Axial slice; 240x240; Image covers 240 mm x 240 mm; Brain
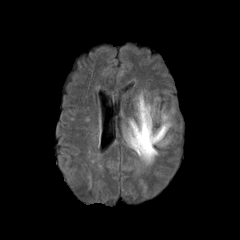
FLAIR MRI.
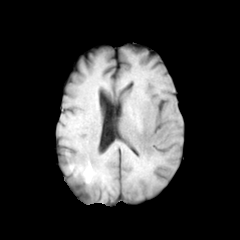
Same slice, T1-weighted magnetic resonance.
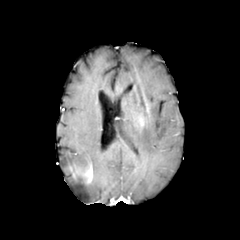
Post-contrast T1-weighted magnetic resonance.
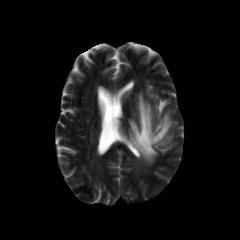
T2-weighted magnetic resonance of the same slice.
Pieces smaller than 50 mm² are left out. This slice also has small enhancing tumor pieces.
<segmentation>
  <peritumoral_edema>box(123, 92, 172, 164)</peritumoral_edema>
</segmentation>